FLAIR MR image.
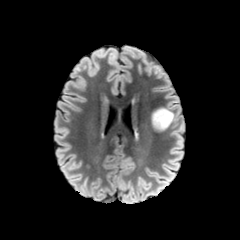
T1-weighted magnetic resonance.
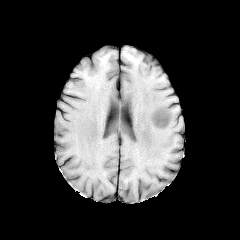
Post-contrast T1-weighted MRI.
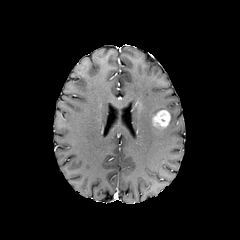
T2-weighted MR.
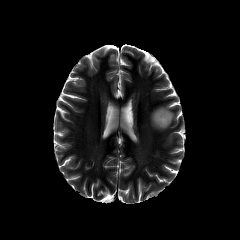
Brain.
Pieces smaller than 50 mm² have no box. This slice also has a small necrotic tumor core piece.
The peritumoral edema lies within l=151, t=108, r=176, b=130. The enhancing tumor is located at l=152, t=110, r=170, b=128.